Head; Slice 115 of 155
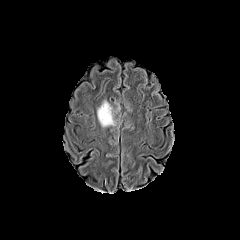
FLAIR MRI.
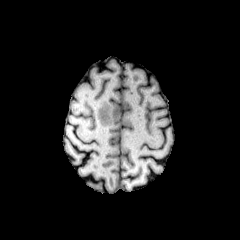
T1-weighted MR image of the same slice.
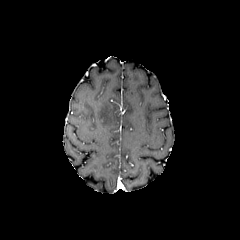
Post-contrast T1-weighted MR.
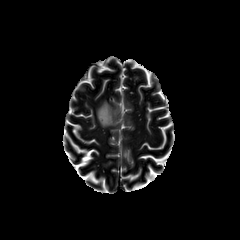
T2-weighted magnetic resonance of the same slice.
The peritumoral edema is bounded by x1=97 y1=101 x2=115 y2=126.